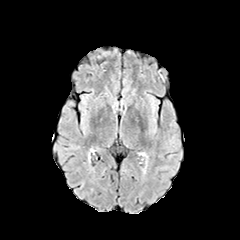
FLAIR MR.
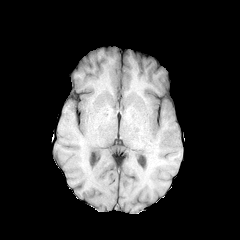
Same slice, T1-weighted MRI.
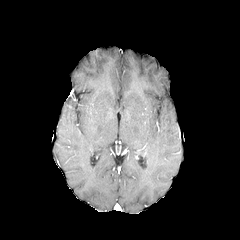
Post-contrast T1-weighted MR image of the same slice.
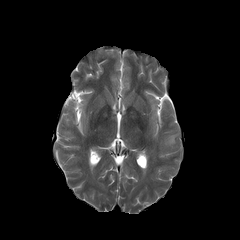
T2-weighted MR image.
Brain
The peritumoral edema is at (x1=166, y1=136, x2=174, y2=144).